Slice 81/155 | Image width 240 mm
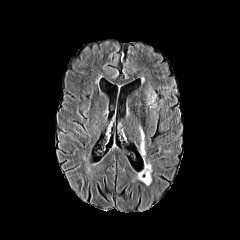
FLAIR magnetic resonance.
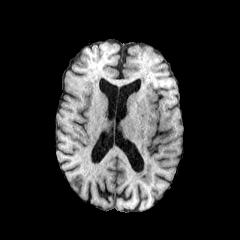
T1-weighted MR.
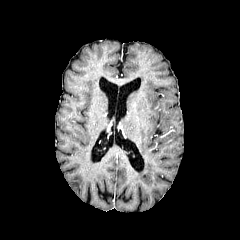
Same slice, post-contrast T1-weighted MR image.
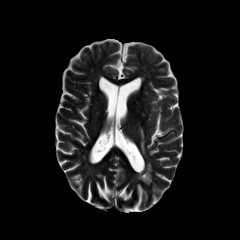
T2-weighted MRI.
The peritumoral edema is bounded by (x1=140, y1=128, x2=145, y2=155).